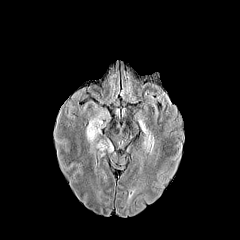
FLAIR MRI.
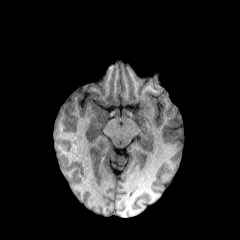
T1-weighted MR image.
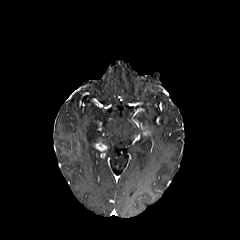
Post-contrast T1-weighted MRI of the same slice.
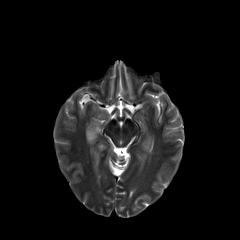
Same slice, T2-weighted MR image.
Axial slice, 240x240 px
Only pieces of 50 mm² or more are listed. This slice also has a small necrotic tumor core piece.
peritumoral edema: 101, 140, 113, 151; 86, 118, 100, 146
enhancing tumor: 95, 140, 107, 151